FLAIR MR.
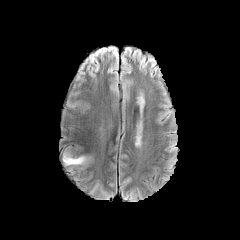
T1-weighted MR.
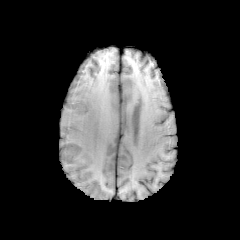
Post-contrast T1-weighted MRI.
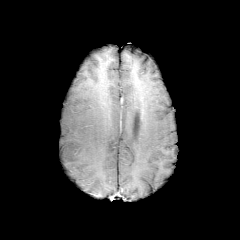
T2-weighted magnetic resonance.
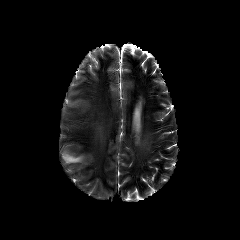
Image size 240x240
The peritumoral edema appears at box=[63, 152, 85, 164].